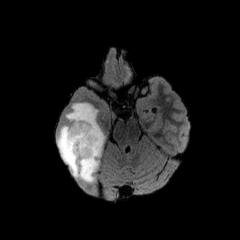
FLAIR MR.
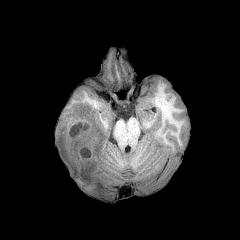
T1-weighted MR image.
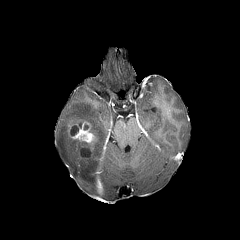
Post-contrast T1-weighted MRI of the same slice.
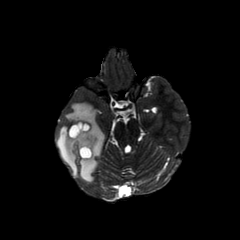
Same slice, T2-weighted MRI.
Brain
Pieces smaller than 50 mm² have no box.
necrotic tumor core: <box>80,148,90,157</box>, <box>70,123,82,135</box>
peritumoral edema: <box>57,102,104,182</box>
enhancing tumor: <box>68,121,97,159</box>